FLAIR MRI.
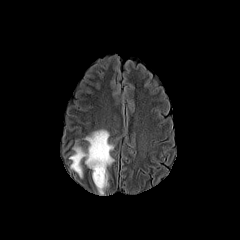
T1-weighted MR.
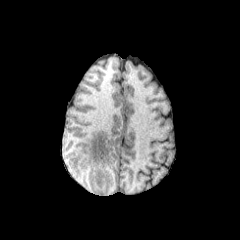
Post-contrast T1-weighted MR.
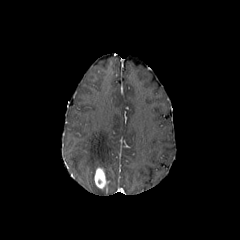
T2-weighted MRI.
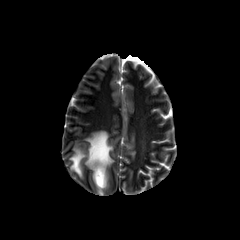
Head
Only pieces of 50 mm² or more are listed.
The enhancing tumor is bounded by (94, 167, 107, 189). The largest peritumoral edema region is bounded by (69, 129, 114, 180).